Axial plane. Brain. Image width 240 mm, 1.00 mm slice spacing.
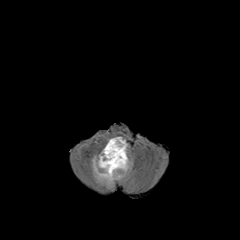
FLAIR magnetic resonance.
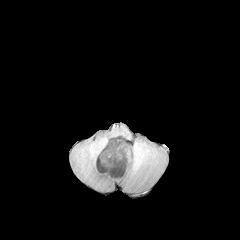
T1-weighted MRI of the same slice.
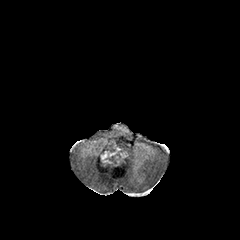
Same slice, post-contrast T1-weighted MR image.
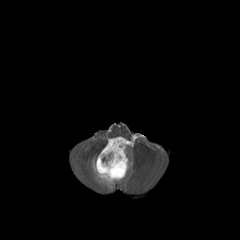
T2-weighted MR image.
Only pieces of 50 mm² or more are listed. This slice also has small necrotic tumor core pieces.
Findings:
- peritumoral edema: 92:155:132:187, 108:137:127:154
- enhancing tumor: 98:140:127:175